FLAIR MR.
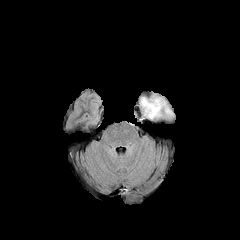
T1-weighted MRI.
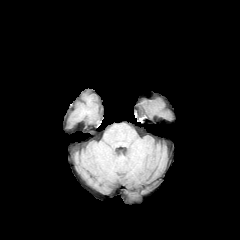
Post-contrast T1-weighted magnetic resonance.
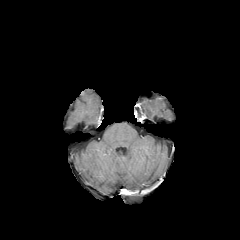
T2-weighted MRI.
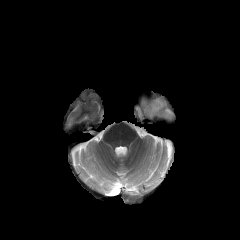
Image size 240x240
peritumoral edema at bbox(140, 95, 173, 119)